FLAIR MR.
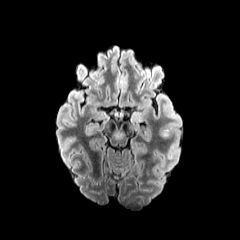
T1-weighted MR image.
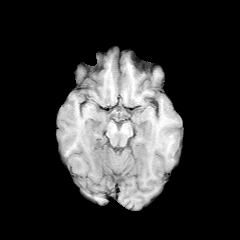
Post-contrast T1-weighted magnetic resonance.
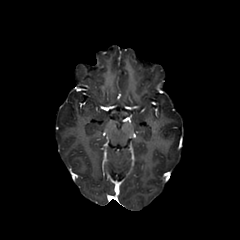
T2-weighted MR.
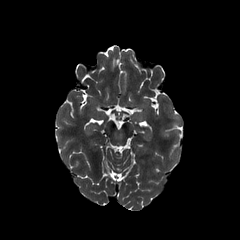
Axial view
{
  "peritumoral_edema": [
    "[162, 129, 171, 137]"
  ]
}